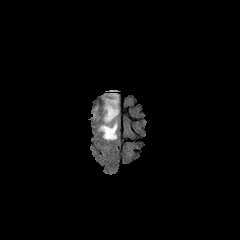
FLAIR MR image.
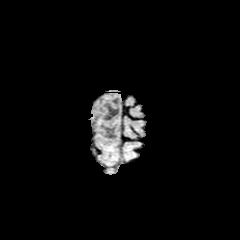
T1-weighted magnetic resonance of the same slice.
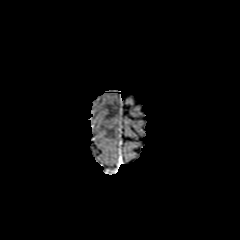
Post-contrast T1-weighted magnetic resonance.
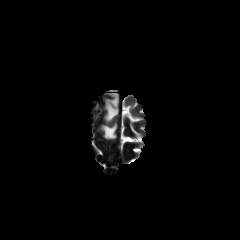
T2-weighted magnetic resonance.
Head; Axial plane
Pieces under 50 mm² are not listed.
peritumoral edema at box(105, 99, 118, 122); box(100, 123, 117, 139)